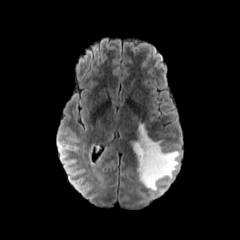
FLAIR MR.
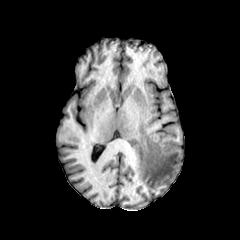
T1-weighted magnetic resonance of the same slice.
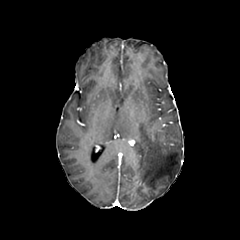
Post-contrast T1-weighted MRI.
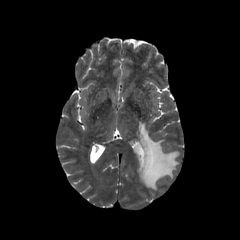
T2-weighted magnetic resonance.
240x240 px, Brain
peritumoral_edema:
  - [x1=128, y1=123, x2=179, y2=190]